FLAIR magnetic resonance.
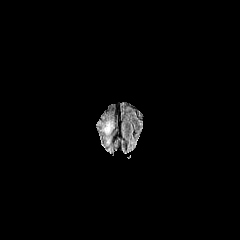
T1-weighted MRI.
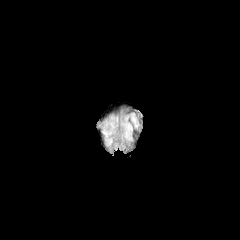
Post-contrast T1-weighted MR image.
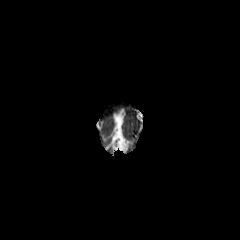
T2-weighted MR.
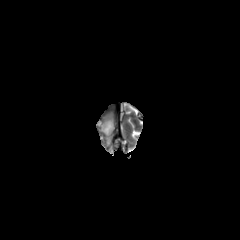
240x240
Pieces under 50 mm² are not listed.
The largest peritumoral edema region is at {"x1": 103, "y1": 121, "x2": 112, "y2": 134}.